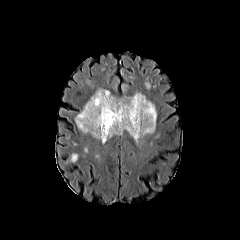
FLAIR MR.
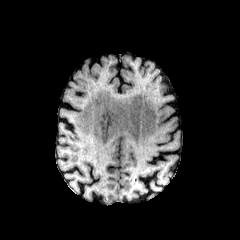
T1-weighted MR.
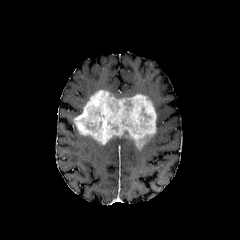
Post-contrast T1-weighted MRI of the same slice.
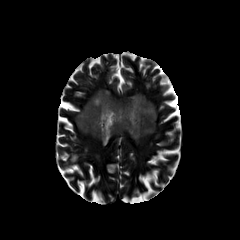
T2-weighted MRI.
Axial slice; Head
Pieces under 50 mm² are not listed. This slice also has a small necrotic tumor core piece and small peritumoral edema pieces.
enhancing tumor: x1=74, y1=90, x2=156, y2=147